Slice 104/155. Image width 240 mm, 1.00 mm slice spacing.
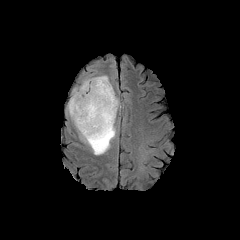
FLAIR MR.
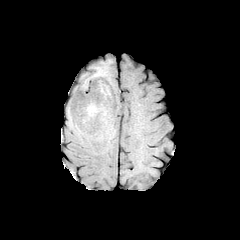
Same slice, T1-weighted magnetic resonance.
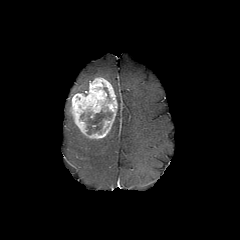
Post-contrast T1-weighted magnetic resonance of the same slice.
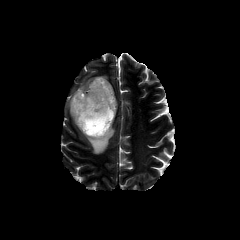
T2-weighted MR image.
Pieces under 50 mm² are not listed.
The 2 largest peritumoral edema regions appear at (x1=73, y1=77, x2=95, y2=94), (x1=74, y1=83, x2=118, y2=154). The largest enhancing tumor region is located at (x1=70, y1=77, x2=117, y2=139). The largest necrotic tumor core region is bounded by (x1=87, y1=111, x2=111, y2=134).